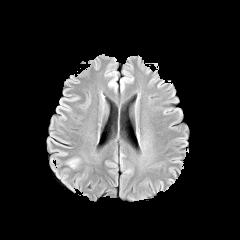
FLAIR MRI.
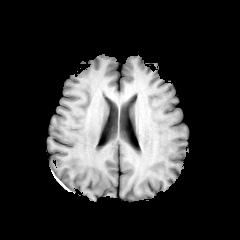
T1-weighted MR of the same slice.
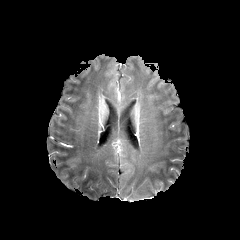
Post-contrast T1-weighted MRI.
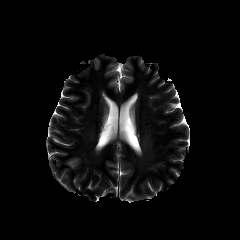
T2-weighted MR image of the same slice.
The peritumoral edema appears at 67,158,80,168.